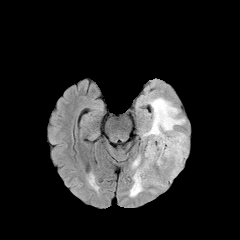
FLAIR MRI.
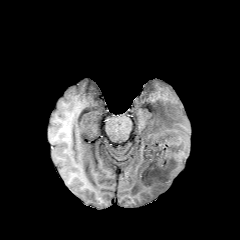
T1-weighted magnetic resonance of the same slice.
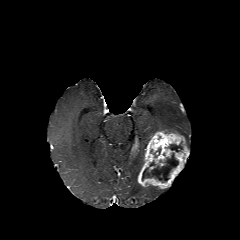
Post-contrast T1-weighted magnetic resonance.
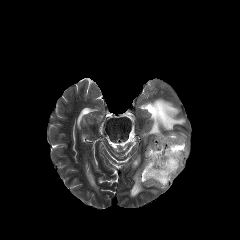
Same slice, T2-weighted magnetic resonance.
Axial view, Head
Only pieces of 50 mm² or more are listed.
enhancing tumor: x1=137, y1=131, x2=188, y2=189 | necrotic tumor core: x1=142, y1=153, x2=178, y2=181; x1=169, y1=144, x2=182, y2=151 | peritumoral edema: x1=129, y1=155, x2=144, y2=196; x1=142, y1=97, x2=187, y2=146